Slice index 91, Head, 240x240 px
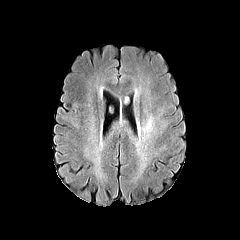
FLAIR MR image.
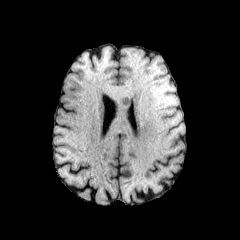
T1-weighted MRI of the same slice.
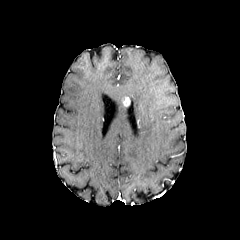
Post-contrast T1-weighted MR image.
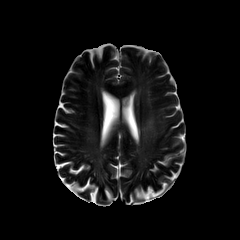
T2-weighted MR.
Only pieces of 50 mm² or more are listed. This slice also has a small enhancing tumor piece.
The peritumoral edema lies within 136,115,154,145.